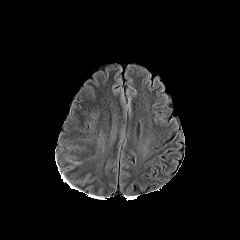
FLAIR magnetic resonance.
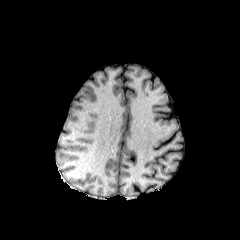
T1-weighted MR of the same slice.
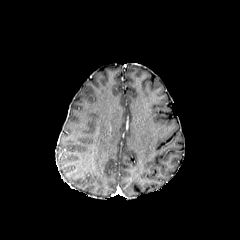
Post-contrast T1-weighted MRI.
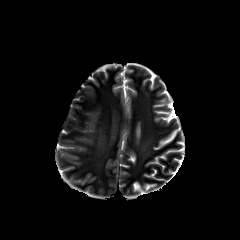
T2-weighted magnetic resonance of the same slice.
Brain. Axial slice.
The peritumoral edema is at box=[63, 156, 80, 164].